FLAIR magnetic resonance.
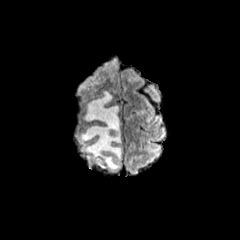
T1-weighted MRI.
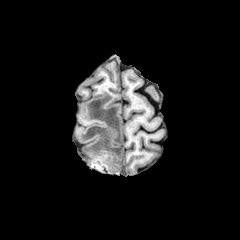
Post-contrast T1-weighted MRI.
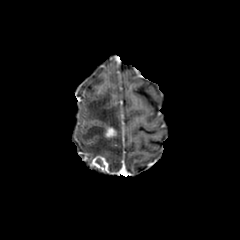
T2-weighted MRI.
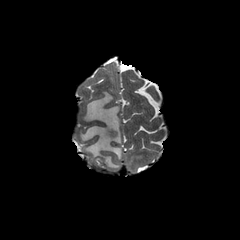
Axial slice; 240x240; Head
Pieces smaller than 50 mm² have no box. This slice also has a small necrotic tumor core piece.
enhancing_tumor:
  - <bbox>90, 154, 109, 169</bbox>
  - <bbox>104, 126, 117, 138</bbox>
peritumoral_edema:
  - <bbox>79, 91, 122, 170</bbox>